Head.
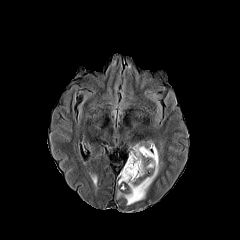
FLAIR MR image.
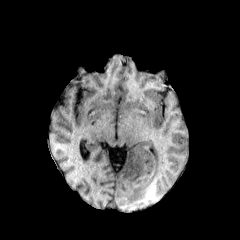
Same slice, T1-weighted MR.
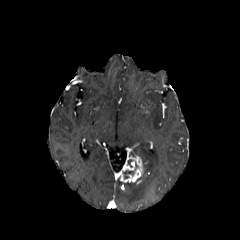
Post-contrast T1-weighted MRI of the same slice.
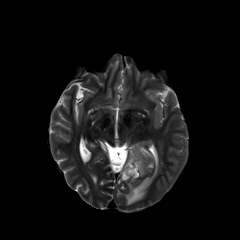
T2-weighted MR.
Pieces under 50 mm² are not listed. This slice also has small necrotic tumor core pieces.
{"peritumoral_edema": ["region(124, 145, 158, 204)"], "enhancing_tumor": ["region(118, 154, 144, 182)"]}